FLAIR MR image.
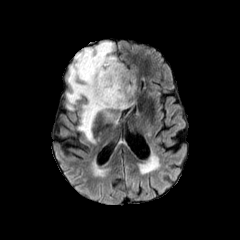
T1-weighted MRI.
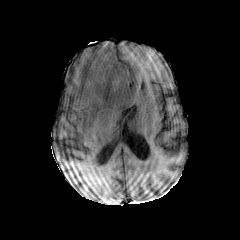
Post-contrast T1-weighted MR.
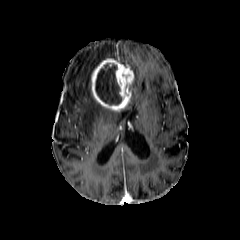
T2-weighted MRI.
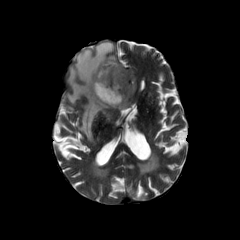
Axial plane | 240x240 px
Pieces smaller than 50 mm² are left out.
The 2 largest peritumoral edema regions are bounded by 129:72:136:105, 66:42:118:141. The necrotic tumor core is at 95:64:121:104. The enhancing tumor is bounded by 91:58:134:111.